Head | Slice index 79 | Axial view | 240x240
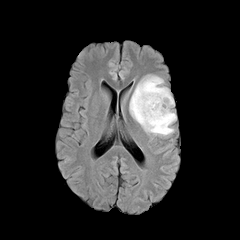
FLAIR MR.
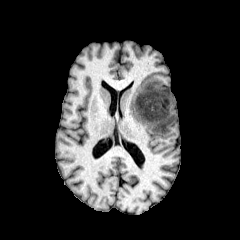
T1-weighted MR of the same slice.
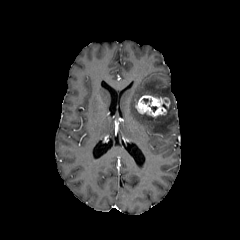
Same slice, post-contrast T1-weighted MR image.
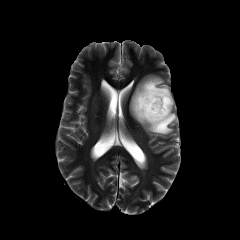
T2-weighted magnetic resonance of the same slice.
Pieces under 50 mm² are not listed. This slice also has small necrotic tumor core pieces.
enhancing tumor: (x1=135, y1=95, x2=170, y2=117)
peritumoral edema: (x1=129, y1=75, x2=176, y2=135)